Axial plane
FLAIR magnetic resonance.
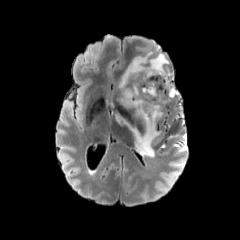
T1-weighted MR image.
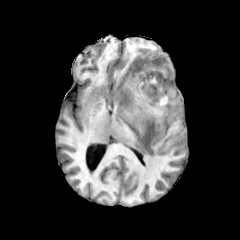
Post-contrast T1-weighted MRI.
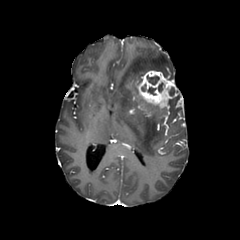
T2-weighted magnetic resonance.
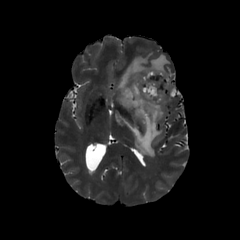
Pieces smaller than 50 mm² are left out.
The largest peritumoral edema region is located at rect(116, 52, 172, 157). The largest enhancing tumor region is bounded by rect(136, 70, 178, 108). The largest necrotic tumor core region lies within rect(147, 76, 159, 84).